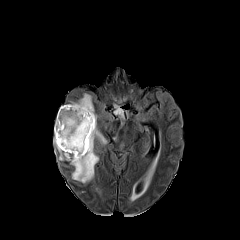
FLAIR MR.
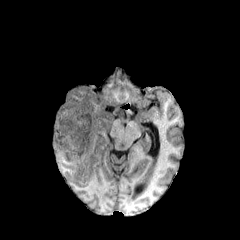
Same slice, T1-weighted MR.
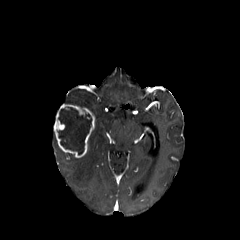
Same slice, post-contrast T1-weighted MR.
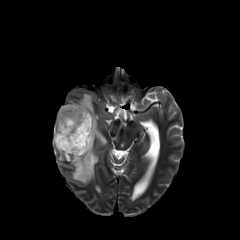
T2-weighted MR of the same slice.
Image size 240x240
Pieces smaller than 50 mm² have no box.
enhancing tumor: bounding box [x1=54, y1=104, x2=95, y2=157]
peritumoral edema: bounding box [x1=113, y1=103, x2=124, y2=119], [x1=53, y1=93, x2=106, y2=183], [x1=128, y1=189, x2=138, y2=203]
necrotic tumor core: bounding box [x1=57, y1=107, x2=91, y2=154]